FLAIR magnetic resonance.
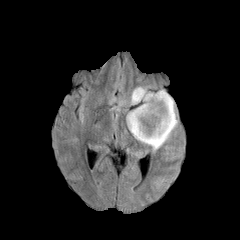
T1-weighted MRI.
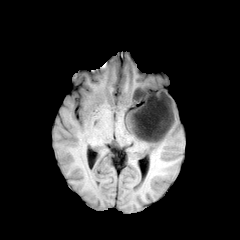
Post-contrast T1-weighted MRI.
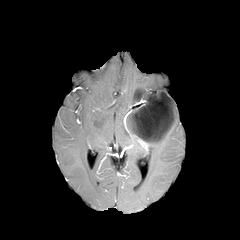
T2-weighted magnetic resonance.
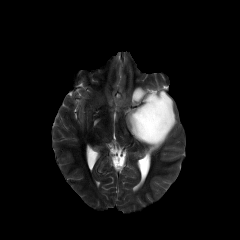
Axial slice.
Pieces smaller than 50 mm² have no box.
3 enhancing tumor regions are bounded by (left=131, top=92, right=173, bottom=138), (left=135, top=91, right=153, bottom=101), (left=142, top=130, right=168, bottom=141). The largest necrotic tumor core region is located at (left=132, top=94, right=171, bottom=140). 2 peritumoral edema regions appear at (left=126, top=89, right=177, bottom=152), (left=130, top=87, right=154, bottom=105).